Axial slice; Head
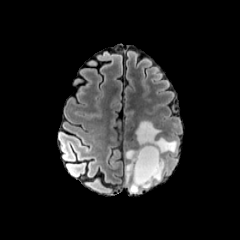
FLAIR MR.
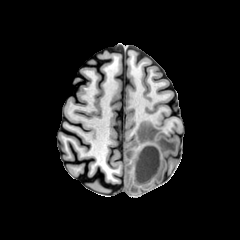
Same slice, T1-weighted MR image.
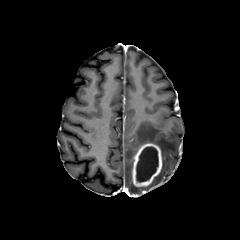
Same slice, post-contrast T1-weighted magnetic resonance.
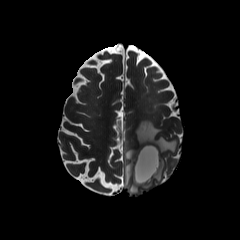
T2-weighted MRI.
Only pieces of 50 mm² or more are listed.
Segmented structures:
- enhancing tumor: box=[132, 143, 162, 187]
- peritumoral edema: box=[125, 121, 177, 193]
- necrotic tumor core: box=[136, 147, 158, 182]